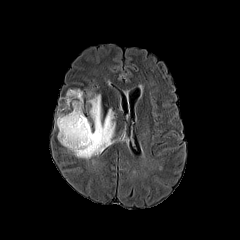
FLAIR MRI.
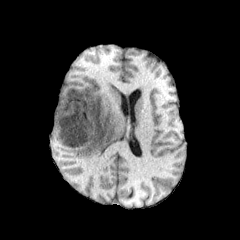
T1-weighted MR image.
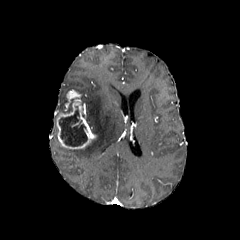
Post-contrast T1-weighted MR image.
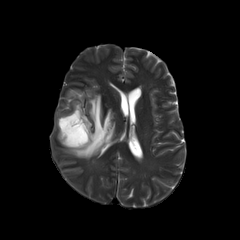
T2-weighted MRI.
240x240 px; Axial slice; Brain
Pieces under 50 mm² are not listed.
{"peritumoral_edema": ["67,94,115,159"], "enhancing_tumor": ["56,89,96,149"], "necrotic_tumor_core": ["59,109,87,146"]}